FLAIR MR.
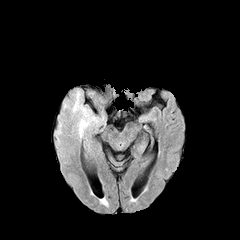
T1-weighted MRI.
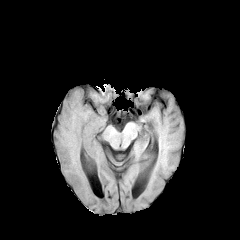
Post-contrast T1-weighted MR image.
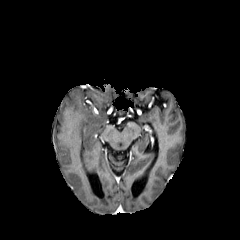
T2-weighted MR.
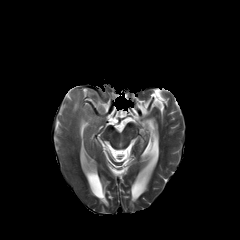
Head
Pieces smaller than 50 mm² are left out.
The 2 largest peritumoral edema regions appear at 85, 90, 94, 97; 56, 89, 106, 140.